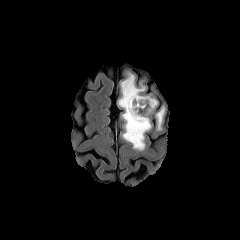
FLAIR MR.
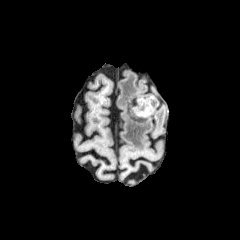
T1-weighted MRI.
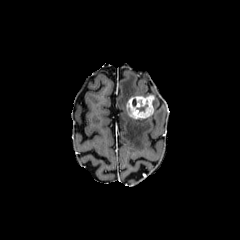
Post-contrast T1-weighted MR of the same slice.
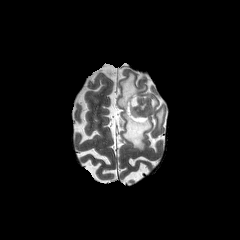
T2-weighted magnetic resonance.
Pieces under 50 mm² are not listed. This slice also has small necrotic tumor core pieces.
The enhancing tumor lies within l=126, t=95, r=154, b=119. The 2 largest peritumoral edema regions appear at l=118, t=73, r=151, b=150; l=156, t=108, r=164, b=129.